Head
FLAIR magnetic resonance.
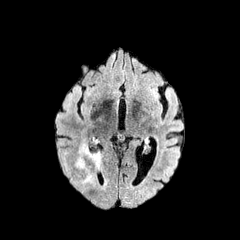
T1-weighted MR.
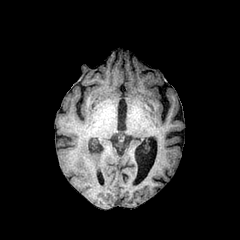
Post-contrast T1-weighted magnetic resonance.
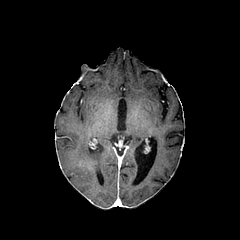
T2-weighted MRI.
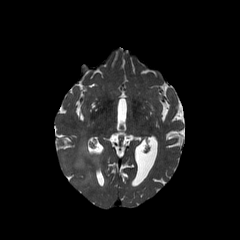
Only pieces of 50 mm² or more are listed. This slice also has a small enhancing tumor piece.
The peritumoral edema is at x1=74 y1=142 x2=101 y2=185.